FLAIR magnetic resonance.
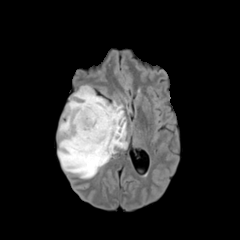
T1-weighted MR image.
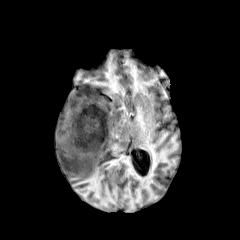
Post-contrast T1-weighted magnetic resonance.
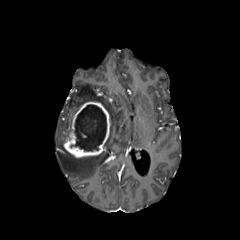
T2-weighted magnetic resonance.
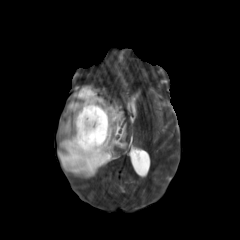
Image size 240x240
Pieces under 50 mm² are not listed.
<segmentation>
  <peritumoral_edema>l=58, t=85, r=127, b=178</peritumoral_edema>
  <necrotic_tumor_core>l=71, t=104, r=106, b=151</necrotic_tumor_core>
  <enhancing_tumor>l=64, t=101, r=110, b=158</enhancing_tumor>
</segmentation>